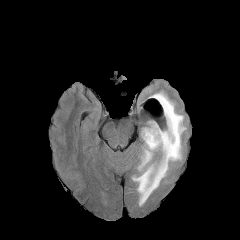
FLAIR MR.
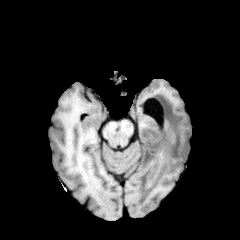
Same slice, T1-weighted MR.
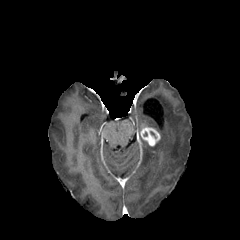
Post-contrast T1-weighted MR.
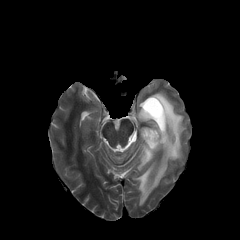
T2-weighted MR image.
Brain. 240x240 px.
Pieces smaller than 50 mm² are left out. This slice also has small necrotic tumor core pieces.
The peritumoral edema appears at [x1=132, y1=91, x2=186, y2=206]. The enhancing tumor lies within [x1=140, y1=127, x2=160, y2=146].